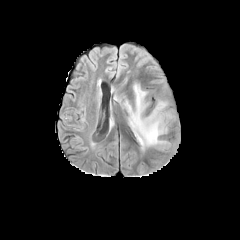
FLAIR MR.
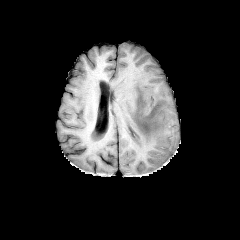
T1-weighted MR of the same slice.
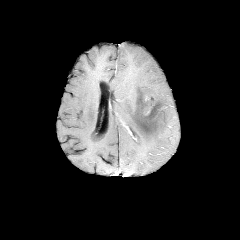
Post-contrast T1-weighted MR image.
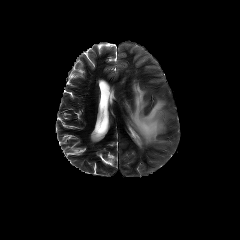
T2-weighted MR image.
Findings:
* peritumoral edema: x1=124, y1=83, x2=170, y2=149